Head. Image size 240x240. Axial view.
FLAIR MRI.
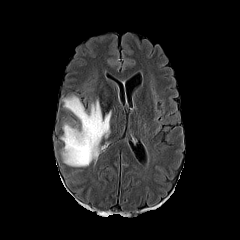
T1-weighted MRI.
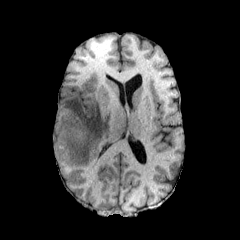
Post-contrast T1-weighted magnetic resonance.
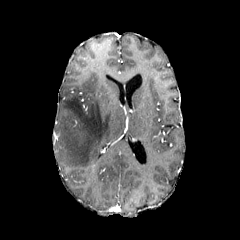
T2-weighted magnetic resonance.
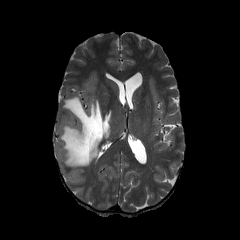
<segmentation>
  <peritumoral_edema><bbox>59, 93, 112, 166</bbox></peritumoral_edema>
</segmentation>